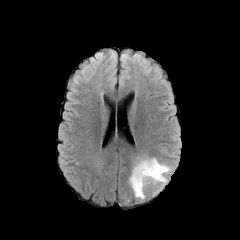
FLAIR MRI.
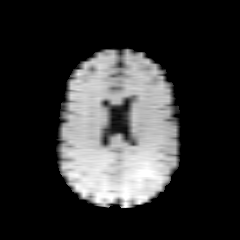
T1-weighted MRI of the same slice.
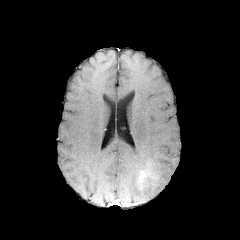
Post-contrast T1-weighted MRI.
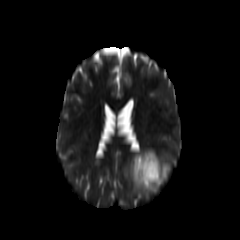
T2-weighted MR image.
240x240 px | Brain
enhancing_tumor:
  - [x1=137, y1=166, x2=156, y2=186]
peritumoral_edema:
  - [x1=129, y1=154, x2=171, y2=199]